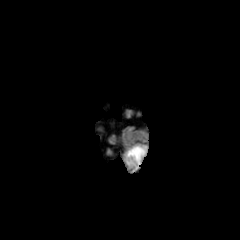
FLAIR magnetic resonance.
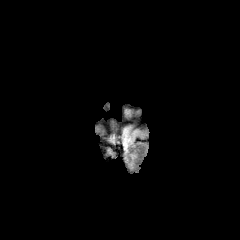
T1-weighted magnetic resonance.
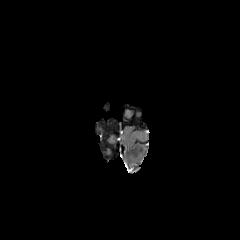
Post-contrast T1-weighted MRI.
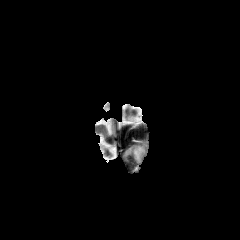
T2-weighted MR image.
Brain
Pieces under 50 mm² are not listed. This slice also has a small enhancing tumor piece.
<segmentation>
  <peritumoral_edema>(left=126, top=145, right=146, bottom=165)</peritumoral_edema>
</segmentation>